Slice index 128. Axial view. Brain.
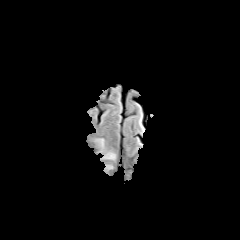
FLAIR MRI.
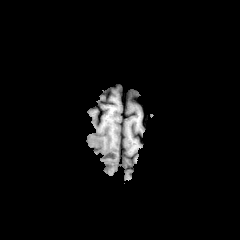
T1-weighted MRI of the same slice.
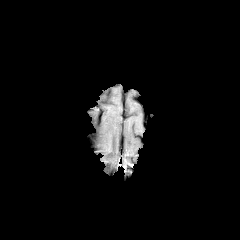
Same slice, post-contrast T1-weighted MRI.
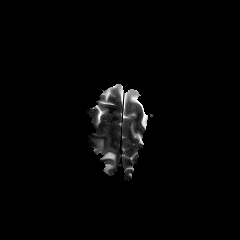
Same slice, T2-weighted magnetic resonance.
2 peritumoral edema regions are located at 100, 152, 116, 173; 90, 139, 104, 154.